Slice index 115
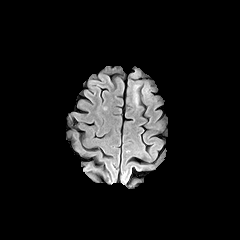
FLAIR MRI.
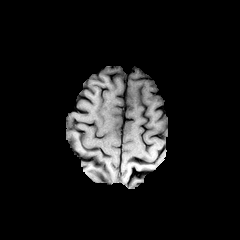
T1-weighted MRI of the same slice.
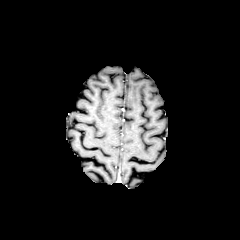
Post-contrast T1-weighted MR.
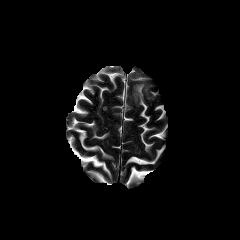
T2-weighted MRI.
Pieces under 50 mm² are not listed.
The largest peritumoral edema region is located at (left=133, top=84, right=139, bottom=105).